Slice index 76 | Axial slice
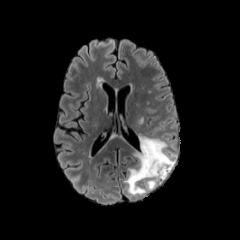
FLAIR MRI.
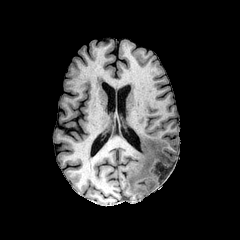
Same slice, T1-weighted magnetic resonance.
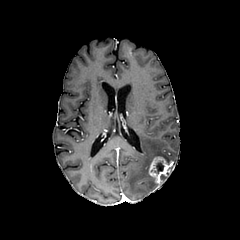
Post-contrast T1-weighted MR image.
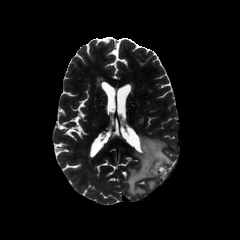
Same slice, T2-weighted MR image.
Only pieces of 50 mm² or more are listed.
The largest peritumoral edema region appears at [124,135,175,195]. The largest necrotic tumor core region appears at [156,162,164,173]. The enhancing tumor is located at [148,156,173,183].